Axial view; Head; 240x240
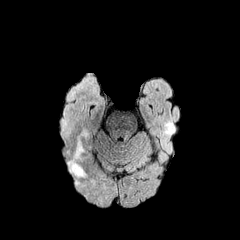
FLAIR MR.
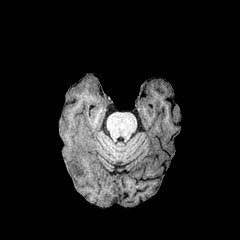
Same slice, T1-weighted magnetic resonance.
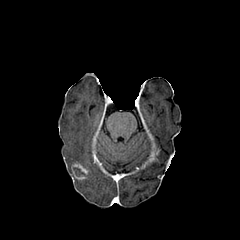
Post-contrast T1-weighted MR image.
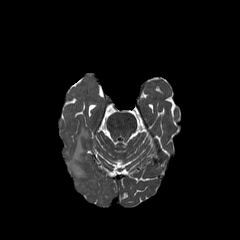
T2-weighted magnetic resonance.
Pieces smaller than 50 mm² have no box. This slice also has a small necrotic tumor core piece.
The largest enhancing tumor region is located at box=[71, 162, 87, 179]. The largest peritumoral edema region is at box=[67, 139, 84, 173].